Head | Slice 103/155 | Image covers 240 mm x 240 mm | Axial slice
FLAIR MR image.
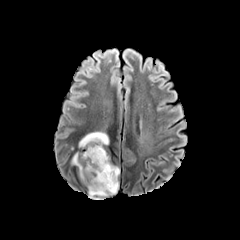
T1-weighted MRI.
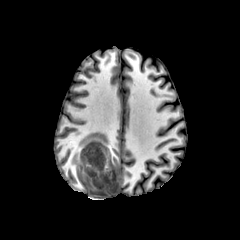
Post-contrast T1-weighted MRI.
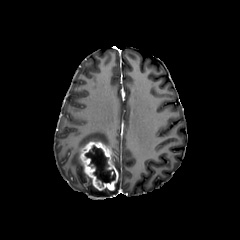
T2-weighted MR.
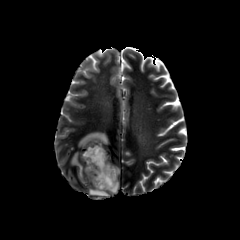
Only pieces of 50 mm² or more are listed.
* necrotic tumor core: (left=85, top=145, right=115, bottom=185)
* peritumoral edema: (left=87, top=181, right=119, bottom=197), (left=78, top=132, right=109, bottom=147), (left=71, top=152, right=84, bottom=182)
* enhancing tumor: (left=80, top=141, right=118, bottom=190)